240x240 px, Slice 90 of 155
FLAIR magnetic resonance.
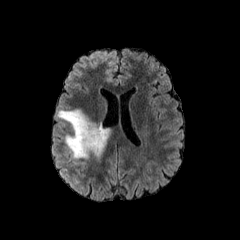
T1-weighted MRI.
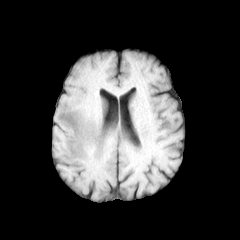
Post-contrast T1-weighted MR image.
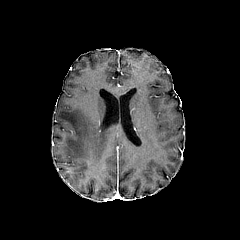
T2-weighted MR image.
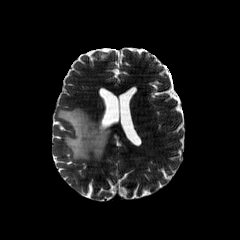
peritumoral edema: (left=57, top=109, right=109, bottom=159)